Slice index 64, Brain
FLAIR MR.
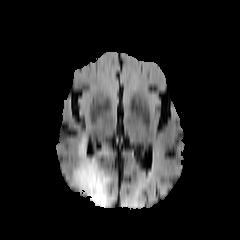
T1-weighted MR image.
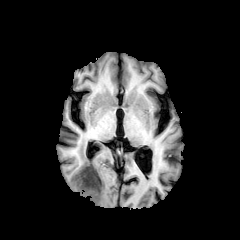
Post-contrast T1-weighted MRI.
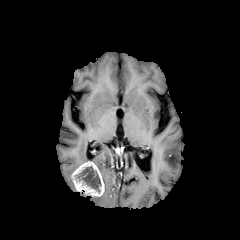
T2-weighted magnetic resonance.
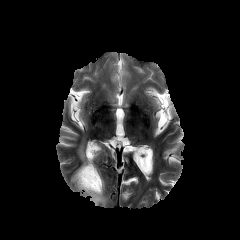
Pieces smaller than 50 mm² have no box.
The enhancing tumor is at 72 161 104 196. The necrotic tumor core is at 76 166 101 192. The largest peritumoral edema region lies within 76 138 113 207.